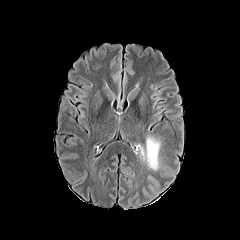
FLAIR MRI.
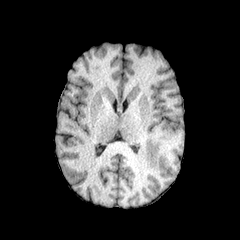
T1-weighted magnetic resonance.
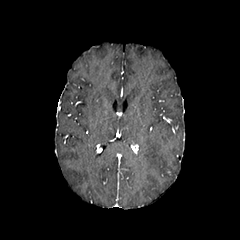
Post-contrast T1-weighted MR.
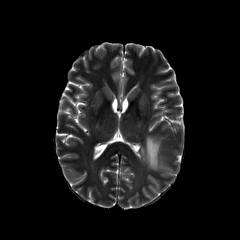
T2-weighted MR.
Axial plane | Brain
peritumoral edema: 140,136,160,170